Head, 240x240
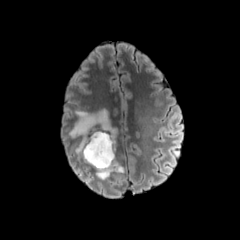
FLAIR MR.
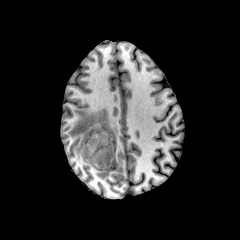
T1-weighted magnetic resonance of the same slice.
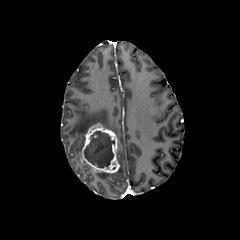
Post-contrast T1-weighted MR.
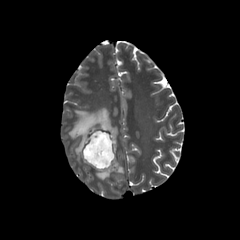
T2-weighted MR.
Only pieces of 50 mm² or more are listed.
The largest necrotic tumor core region is located at x1=84 y1=131 x2=114 y2=167. 3 peritumoral edema regions appear at x1=69 y1=108 x2=117 y2=153, x1=111 y1=164 x2=124 y2=173, x1=96 y1=171 x2=110 y2=180. The largest enhancing tumor region is bounded by x1=81 y1=123 x2=119 y2=173.